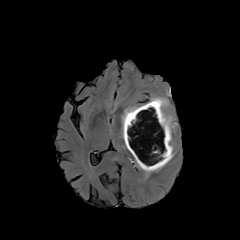
FLAIR magnetic resonance.
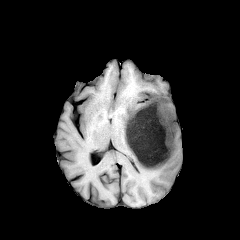
Same slice, T1-weighted MR.
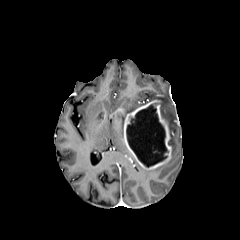
Post-contrast T1-weighted MR image of the same slice.
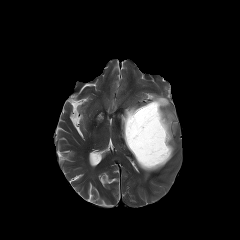
T2-weighted MR image.
Image size 240x240. Head.
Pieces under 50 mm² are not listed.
necrotic tumor core: (126, 103, 167, 167)
peritumoral edema: (170, 133, 174, 157), (135, 160, 168, 173), (150, 95, 174, 129), (121, 105, 140, 139)
enhancing tumor: (124, 100, 172, 169)